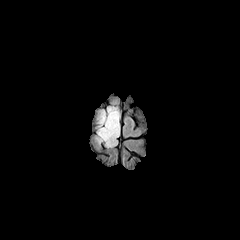
FLAIR magnetic resonance.
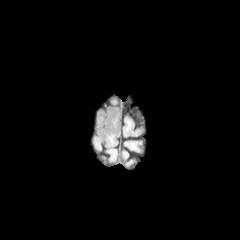
T1-weighted MR image.
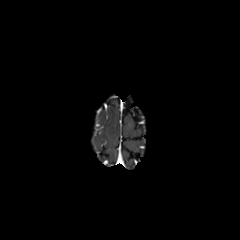
Post-contrast T1-weighted MRI of the same slice.
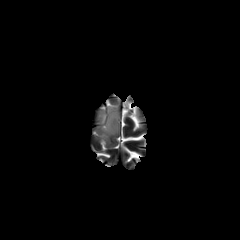
T2-weighted MR.
Image size 240x240
peritumoral_edema:
  - (x1=97, y1=107, x2=119, y2=147)